Axial view. Brain.
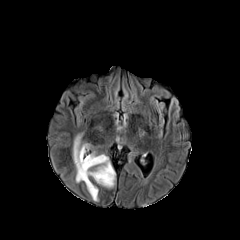
FLAIR MR.
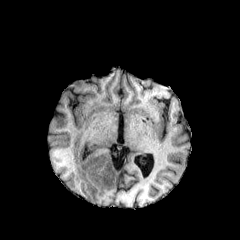
T1-weighted MR.
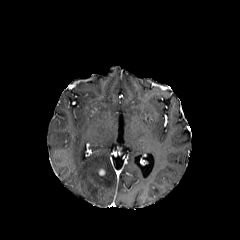
Same slice, post-contrast T1-weighted MR image.
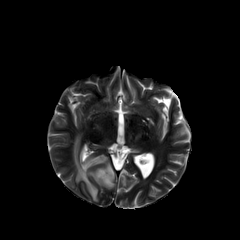
T2-weighted magnetic resonance.
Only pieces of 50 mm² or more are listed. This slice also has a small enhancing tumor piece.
peritumoral edema — (left=73, top=135, right=115, bottom=201)